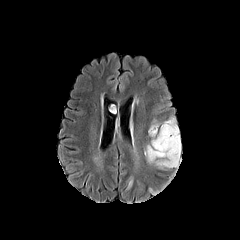
FLAIR MR.
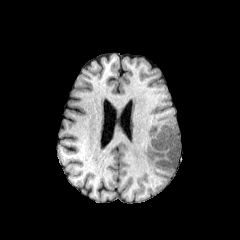
Same slice, T1-weighted MRI.
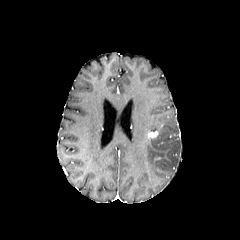
Post-contrast T1-weighted MR.
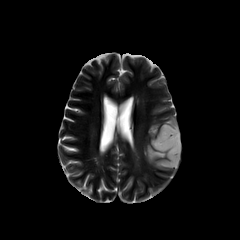
T2-weighted MRI.
Axial slice
* enhancing tumor: (148, 130, 158, 138)
* peritumoral edema: (126, 178, 134, 190), (144, 116, 181, 169)